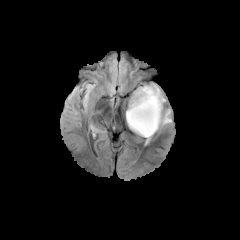
FLAIR MRI.
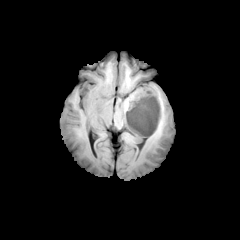
T1-weighted MR image of the same slice.
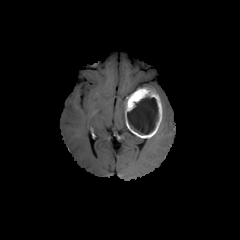
Post-contrast T1-weighted magnetic resonance.
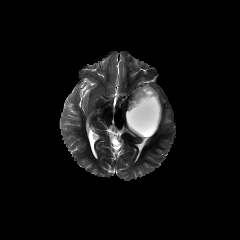
T2-weighted MRI of the same slice.
Image size 240x240; Head
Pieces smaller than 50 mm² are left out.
<segmentation>
  <necrotic_tumor_core>x1=127 y1=97 x2=158 y2=134</necrotic_tumor_core>
  <enhancing_tumor>x1=125 y1=87 x2=162 y2=138</enhancing_tumor>
  <peritumoral_edema>x1=160 y1=109 x2=171 y2=126, x1=143 y1=85 x2=165 y2=106</peritumoral_edema>
</segmentation>